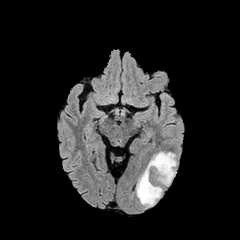
FLAIR magnetic resonance.
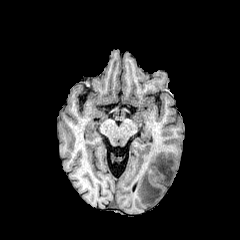
Same slice, T1-weighted MRI.
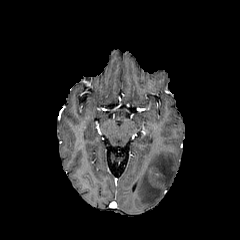
Post-contrast T1-weighted MR image.
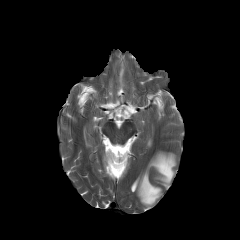
Same slice, T2-weighted magnetic resonance.
Brain
peritumoral edema at box(136, 151, 176, 206)